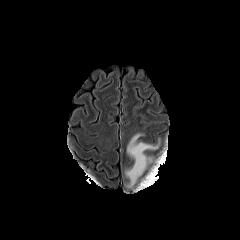
FLAIR MRI.
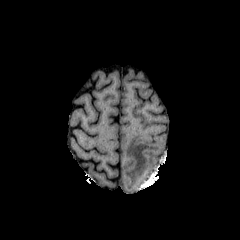
T1-weighted MR image of the same slice.
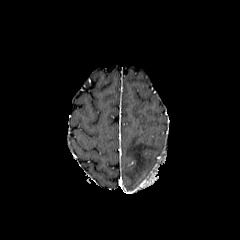
Post-contrast T1-weighted magnetic resonance.
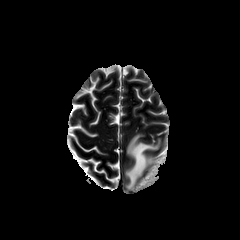
T2-weighted magnetic resonance.
Head. 240x240. Axial view.
peritumoral_edema:
  - 125:132:160:187